Axial slice | Head
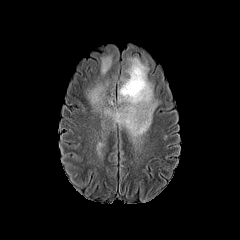
FLAIR magnetic resonance.
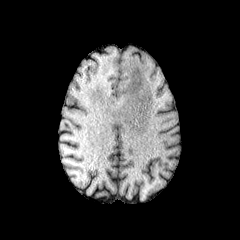
T1-weighted MRI of the same slice.
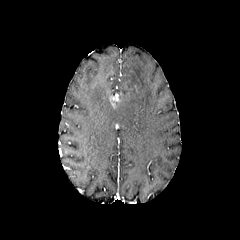
Same slice, post-contrast T1-weighted MR.
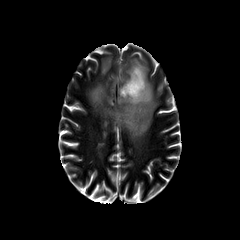
Same slice, T2-weighted magnetic resonance.
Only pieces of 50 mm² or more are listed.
Segmented structures:
- peritumoral edema: <bbox>104, 58, 157, 139</bbox>, <bbox>101, 57, 111, 73</bbox>, <bbox>89, 86, 104, 106</bbox>